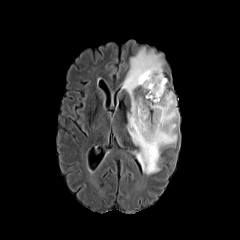
FLAIR MR image.
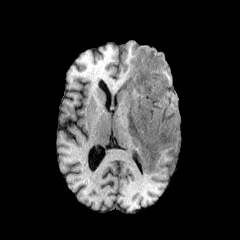
Same slice, T1-weighted MR image.
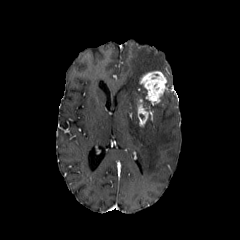
Post-contrast T1-weighted MR image.
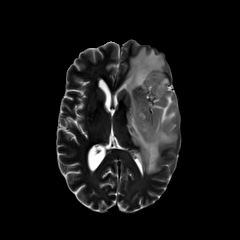
T2-weighted MRI.
Axial plane, 240x240, Brain
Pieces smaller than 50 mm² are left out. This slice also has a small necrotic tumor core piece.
<segmentation>
  <peritumoral_edema>box(121, 47, 179, 174)</peritumoral_edema>
  <enhancing_tumor>box(139, 71, 167, 105); box(137, 98, 149, 127)</enhancing_tumor>
</segmentation>